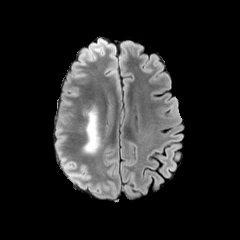
FLAIR magnetic resonance.
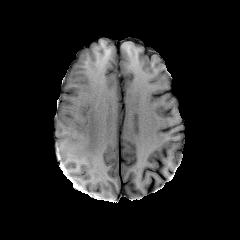
T1-weighted MRI.
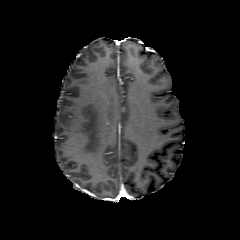
Post-contrast T1-weighted magnetic resonance of the same slice.
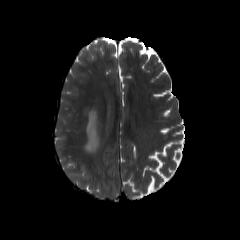
T2-weighted magnetic resonance.
Axial slice
peritumoral edema = {"x1": 83, "y1": 107, "x2": 99, "y2": 153}